FLAIR magnetic resonance.
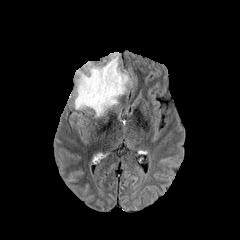
T1-weighted MRI.
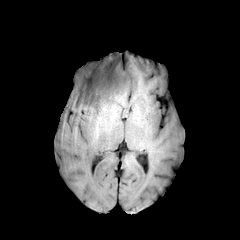
Post-contrast T1-weighted MR image.
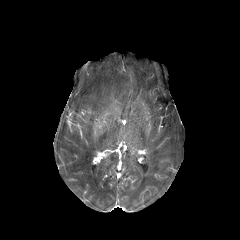
T2-weighted MR image.
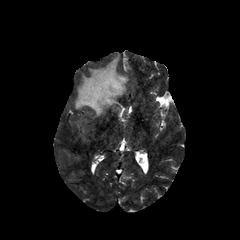
240x240 | Axial plane | Head
peritumoral_edema:
  - region(74, 54, 128, 117)